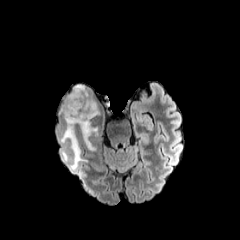
FLAIR MRI.
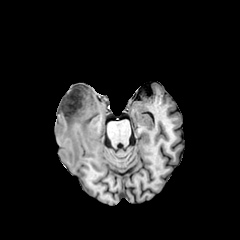
T1-weighted MR image.
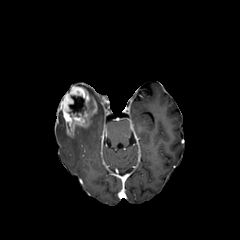
Same slice, post-contrast T1-weighted MRI.
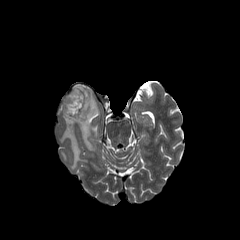
T2-weighted magnetic resonance.
Axial slice
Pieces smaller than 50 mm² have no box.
enhancing tumor = bbox=[59, 85, 97, 137]
necrotic tumor core = bbox=[69, 96, 87, 115]
peritumoral edema = bbox=[59, 130, 86, 170]; bbox=[80, 121, 97, 150]